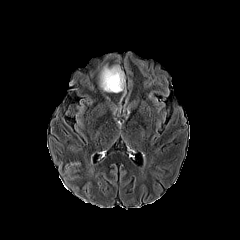
FLAIR magnetic resonance.
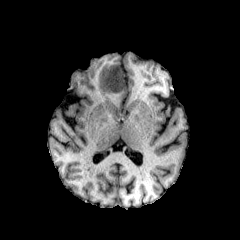
T1-weighted MR of the same slice.
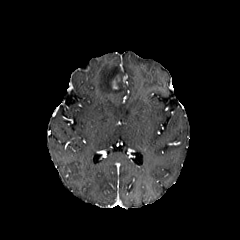
Post-contrast T1-weighted MR of the same slice.
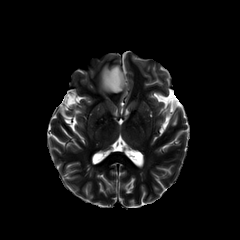
T2-weighted MR of the same slice.
Brain
The enhancing tumor is bounded by bbox(112, 76, 119, 89). The peritumoral edema is located at bbox(100, 65, 124, 92).